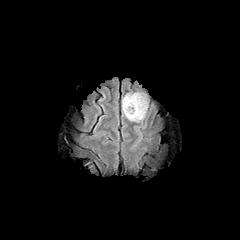
FLAIR MRI.
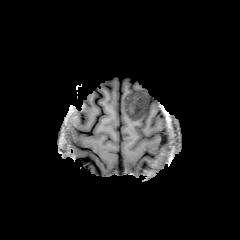
Same slice, T1-weighted MRI.
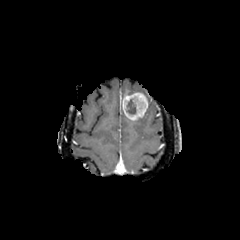
Post-contrast T1-weighted MRI.
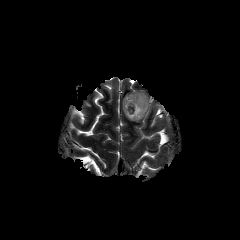
Same slice, T2-weighted MR.
Axial view. Head. Image size 240x240.
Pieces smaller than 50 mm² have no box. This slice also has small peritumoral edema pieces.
enhancing tumor: 122, 92, 148, 120
necrotic tumor core: 127, 99, 136, 114